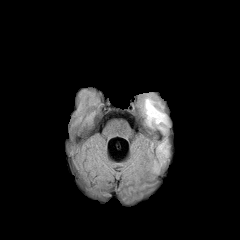
FLAIR MR.
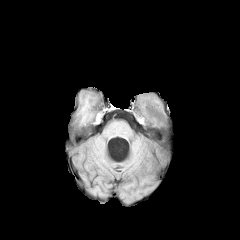
Same slice, T1-weighted MRI.
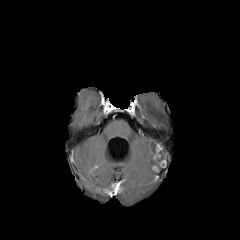
Post-contrast T1-weighted MRI.
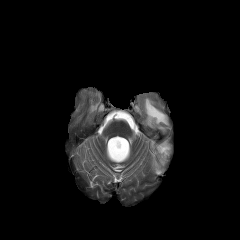
T2-weighted MRI.
Head; Axial view
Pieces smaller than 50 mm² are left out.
The enhancing tumor is at {"x1": 152, "y1": 144, "x2": 168, "y2": 172}. The 3 largest peritumoral edema regions are bounded by {"x1": 153, "y1": 151, "x2": 163, "y2": 165}, {"x1": 143, "y1": 97, "x2": 168, "y2": 132}, {"x1": 158, "y1": 140, "x2": 168, "y2": 155}.